Slice 110/155; 240x240 px
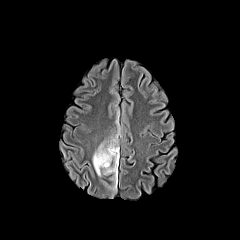
FLAIR magnetic resonance.
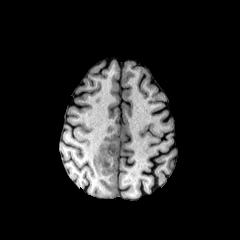
Same slice, T1-weighted MR.
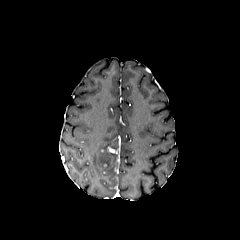
Post-contrast T1-weighted MRI of the same slice.
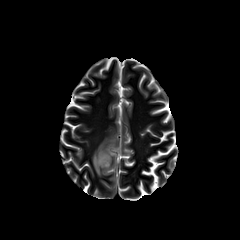
T2-weighted MRI.
Segmented structures:
- peritumoral edema: x1=92, y1=125, x2=120, y2=180